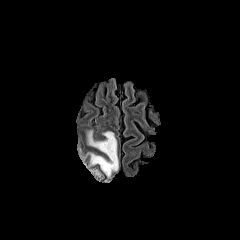
FLAIR magnetic resonance.
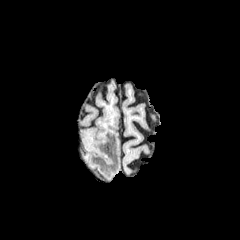
T1-weighted magnetic resonance.
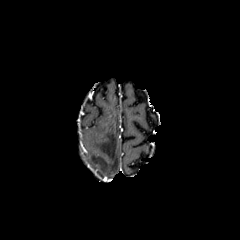
Post-contrast T1-weighted MR image.
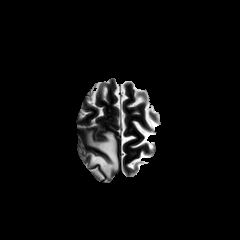
T2-weighted MRI of the same slice.
Brain
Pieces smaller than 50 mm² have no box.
{
  "peritumoral_edema": [
    "88, 131, 118, 177"
  ]
}